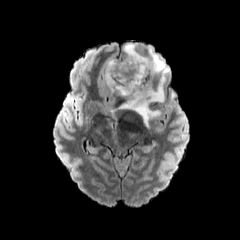
FLAIR MRI.
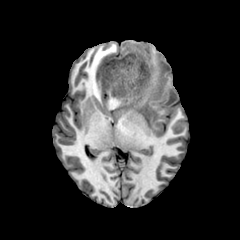
T1-weighted MRI.
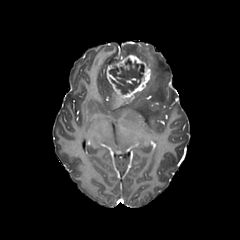
Post-contrast T1-weighted MR.
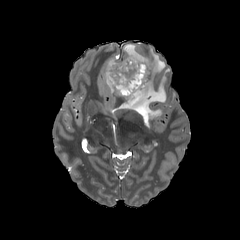
T2-weighted magnetic resonance.
Head. 240x240 px.
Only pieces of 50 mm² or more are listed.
peritumoral edema: bounding box x1=118 y1=43 x2=169 y2=127, x1=103 y1=58 x2=119 y2=94
necrotic tumor core: bounding box x1=109 y1=59 x2=144 y2=94
enhancing tumor: bounding box x1=106 y1=54 x2=151 y2=102